Slice index 99. Axial view. Image width 240 mm.
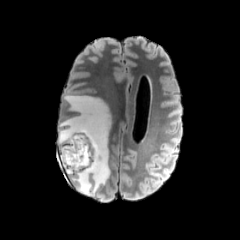
FLAIR MRI.
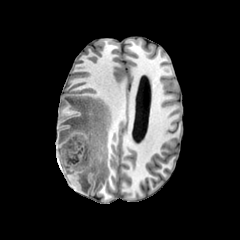
Same slice, T1-weighted MRI.
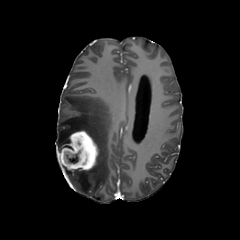
Post-contrast T1-weighted magnetic resonance.
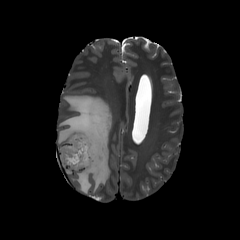
T2-weighted MR image.
* enhancing tumor: (left=59, top=130, right=98, bottom=171)
* peritumoral edema: (left=57, top=94, right=111, bottom=195)
* necrotic tumor core: (left=66, top=154, right=78, bottom=163)